FLAIR MR.
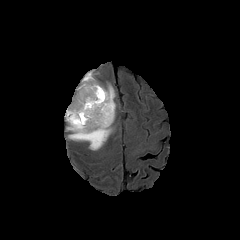
T1-weighted MR.
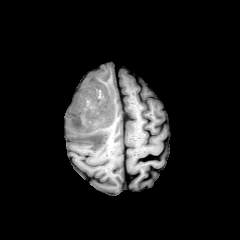
Post-contrast T1-weighted MR.
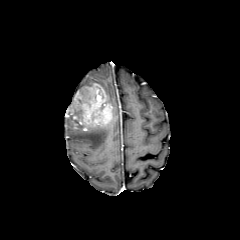
T2-weighted magnetic resonance.
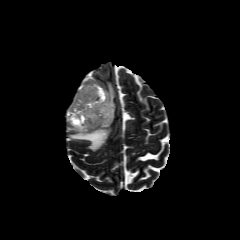
240x240 px | Axial plane | Brain
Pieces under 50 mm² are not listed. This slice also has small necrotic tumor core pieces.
peritumoral edema at [x1=66, y1=118, x2=113, y2=150], [x1=104, y1=84, x2=115, y2=119], [x1=83, y1=72, x2=95, y2=80]
enhancing tumor at [x1=65, y1=83, x2=113, y2=131]